Head; Slice 114/155
FLAIR magnetic resonance.
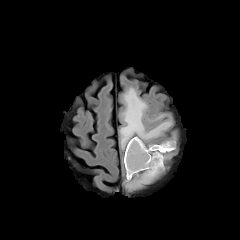
T1-weighted MR.
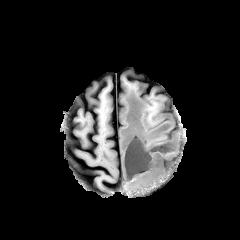
Post-contrast T1-weighted MR.
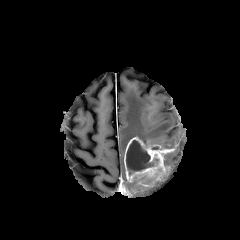
T2-weighted MR.
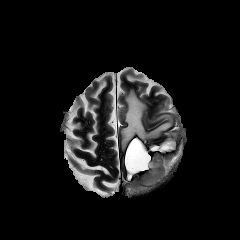
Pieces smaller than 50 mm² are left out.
- necrotic tumor core: box(126, 140, 158, 174)
- enhancing tumor: box(124, 137, 176, 181)
- peritumoral edema: box(120, 89, 171, 149); box(125, 176, 155, 189); box(158, 135, 175, 144)